FLAIR MR image.
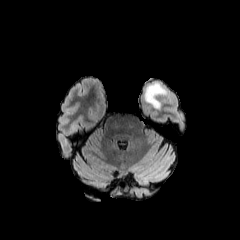
T1-weighted MR image.
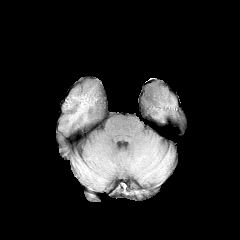
Post-contrast T1-weighted magnetic resonance.
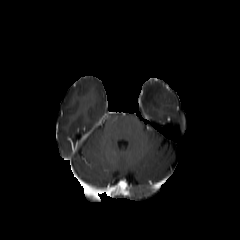
T2-weighted magnetic resonance.
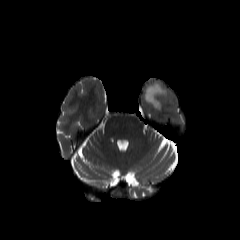
Head; Axial view
Findings:
- peritumoral edema: 144,82,169,109